Image width 240 mm, 1.00 mm slice spacing, Slice 129 of 155
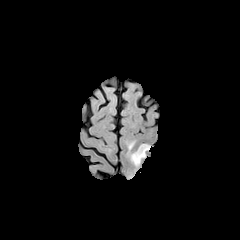
FLAIR MR.
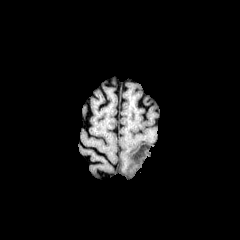
T1-weighted MR image of the same slice.
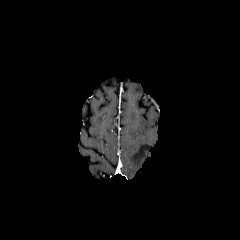
Post-contrast T1-weighted MR image of the same slice.
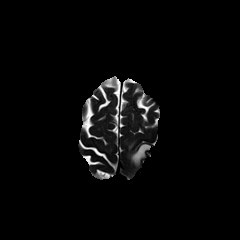
T2-weighted magnetic resonance.
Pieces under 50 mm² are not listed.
- peritumoral edema: [x1=129, y1=144, x2=150, y2=166]